Image width 240 mm, 1.00 mm slice spacing, Head
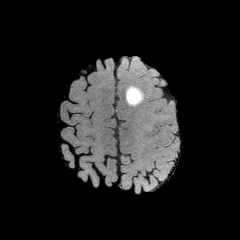
FLAIR MRI.
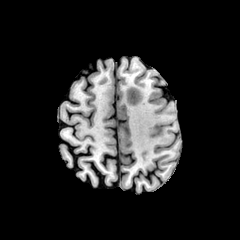
Same slice, T1-weighted MR.
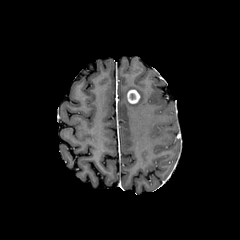
Same slice, post-contrast T1-weighted MRI.
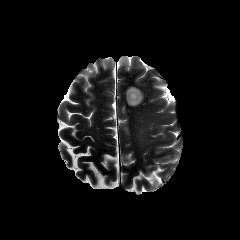
T2-weighted MR image.
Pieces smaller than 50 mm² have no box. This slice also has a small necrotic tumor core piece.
peritumoral edema — (x1=125, y1=86, x2=143, y2=106)
enhancing tumor — (x1=127, y1=89, x2=140, y2=103)